FLAIR MR image.
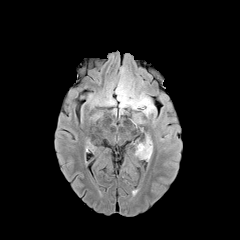
T1-weighted MR image.
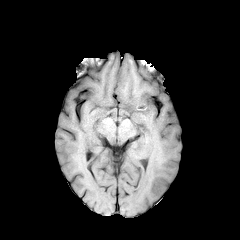
Post-contrast T1-weighted MR.
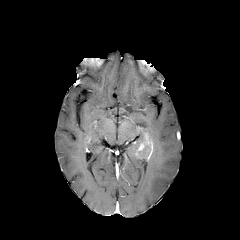
T2-weighted magnetic resonance.
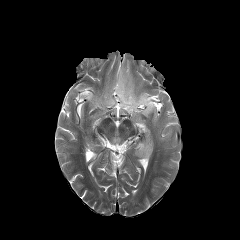
Image size 240x240
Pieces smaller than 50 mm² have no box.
The 2 largest peritumoral edema regions are bounded by x1=134 y1=129 x2=152 y2=161, x1=118 y1=81 x2=155 y2=123. The enhancing tumor is at x1=137 y1=135 x2=152 y2=158.